Image covers 240 mm x 240 mm
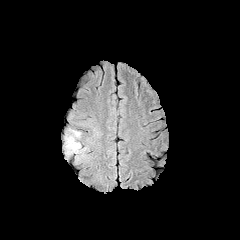
FLAIR MRI.
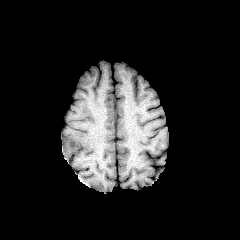
Same slice, T1-weighted MRI.
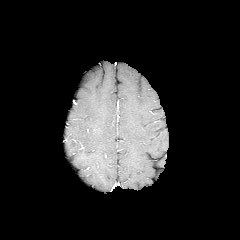
Post-contrast T1-weighted magnetic resonance.
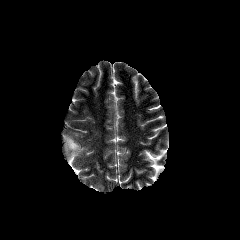
T2-weighted magnetic resonance.
peritumoral edema — 64:130:86:160